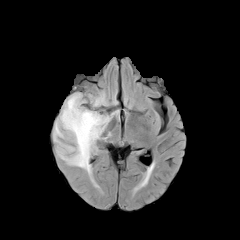
FLAIR magnetic resonance.
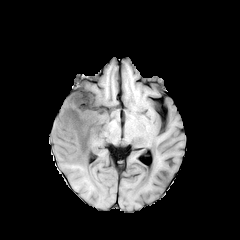
T1-weighted magnetic resonance.
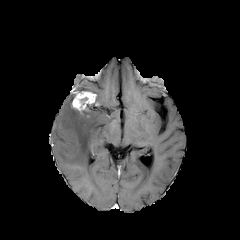
Post-contrast T1-weighted MR of the same slice.
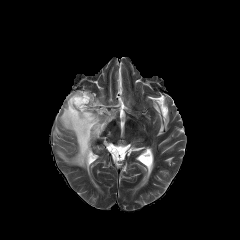
Same slice, T2-weighted MR.
Axial plane.
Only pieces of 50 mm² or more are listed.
enhancing tumor = <bbox>72, 91, 99, 113</bbox>
peritumoral edema = <bbox>53, 94, 113, 175</bbox>, <bbox>96, 92, 106, 105</bbox>